FLAIR MR image.
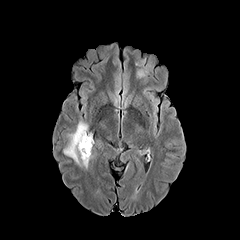
T1-weighted MR.
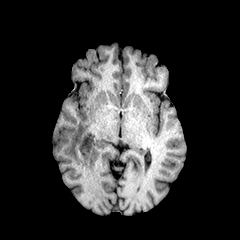
Post-contrast T1-weighted MR image.
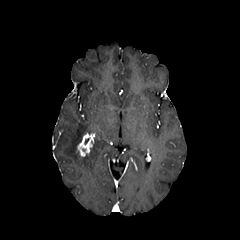
T2-weighted MR.
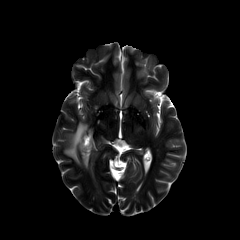
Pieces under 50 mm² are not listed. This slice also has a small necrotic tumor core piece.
{
  "peritumoral_edema": [
    "box=[63, 121, 92, 168]",
    "box=[136, 69, 146, 77]"
  ],
  "enhancing_tumor": [
    "box=[77, 133, 93, 156]"
  ]
}